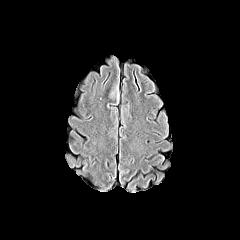
FLAIR magnetic resonance.
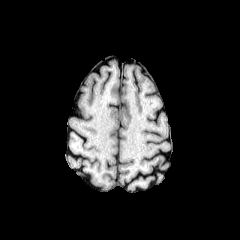
T1-weighted MR image.
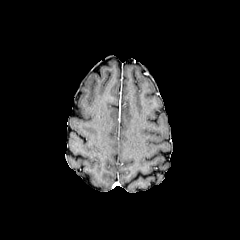
Same slice, post-contrast T1-weighted MR.
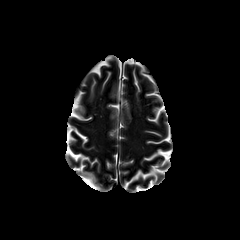
Same slice, T2-weighted MR.
Brain
peritumoral edema at {"x1": 108, "y1": 83, "x2": 117, "y2": 98}